Axial plane, Brain, Image width 240 mm
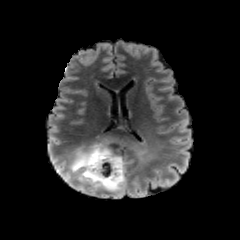
FLAIR MR image.
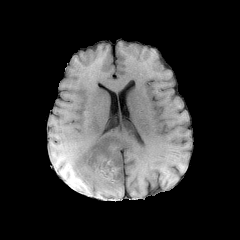
T1-weighted MRI.
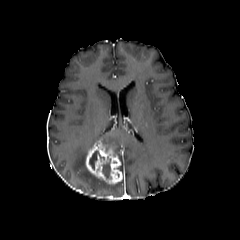
Post-contrast T1-weighted MR of the same slice.
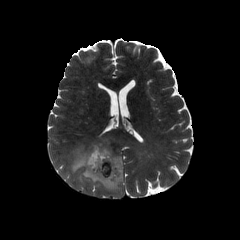
Same slice, T2-weighted MR.
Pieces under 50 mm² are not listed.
peritumoral edema: bbox=[69, 141, 125, 190] | enhancing tumor: bbox=[85, 143, 123, 185] | necrotic tumor core: bbox=[90, 151, 98, 169]; bbox=[102, 159, 110, 178]